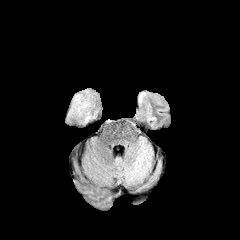
FLAIR MR.
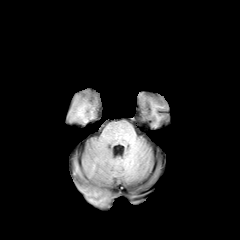
T1-weighted MRI.
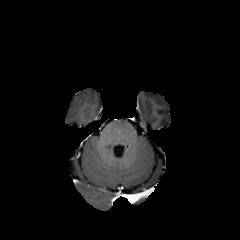
Post-contrast T1-weighted MR.
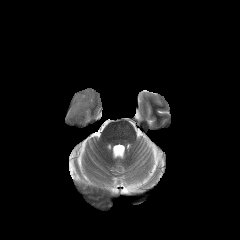
Same slice, T2-weighted MRI.
Axial view
<segmentation>
  <peritumoral_edema>65:88:100:126</peritumoral_edema>
</segmentation>